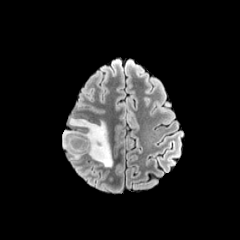
FLAIR MR image.
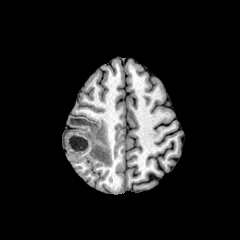
T1-weighted MRI of the same slice.
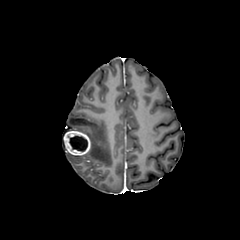
Post-contrast T1-weighted MR.
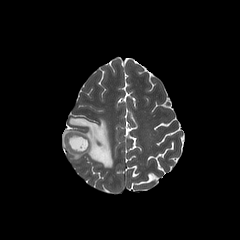
T2-weighted MRI.
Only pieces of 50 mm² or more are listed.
The 2 largest peritumoral edema regions appear at bbox(68, 153, 84, 161); bbox(68, 116, 112, 167). The enhancing tumor lies within bbox(63, 130, 90, 155). The necrotic tumor core is bounded by bbox(69, 135, 87, 151).